240x240
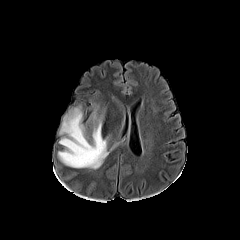
FLAIR MR.
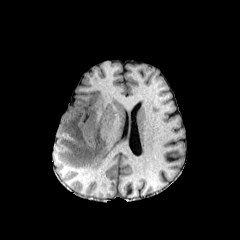
T1-weighted MR image.
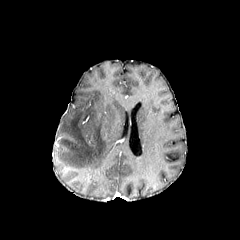
Post-contrast T1-weighted MRI.
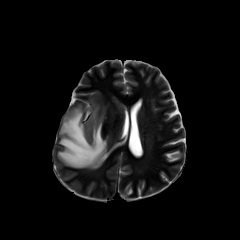
T2-weighted magnetic resonance of the same slice.
peritumoral_edema:
  - 58, 106, 109, 169